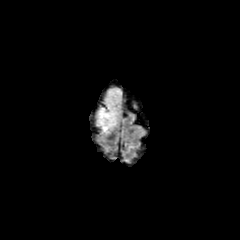
FLAIR magnetic resonance.
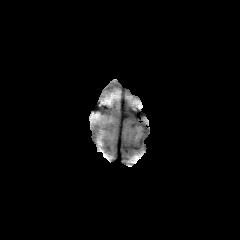
T1-weighted MR image of the same slice.
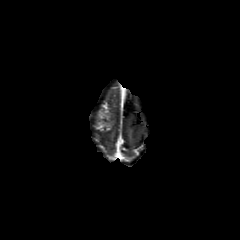
Same slice, post-contrast T1-weighted MRI.
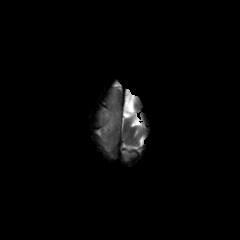
T2-weighted MR of the same slice.
Head
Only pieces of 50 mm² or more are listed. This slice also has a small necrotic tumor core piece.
enhancing_tumor:
  - left=95, top=104, right=113, bottom=131
peritumoral_edema:
  - left=101, top=91, right=117, bottom=135